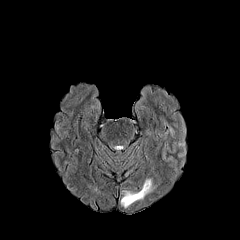
FLAIR MRI.
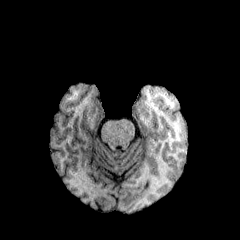
T1-weighted MR.
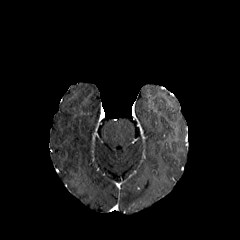
Post-contrast T1-weighted magnetic resonance of the same slice.
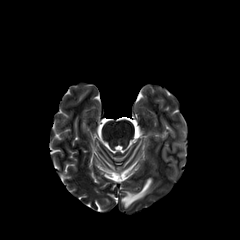
T2-weighted MRI.
peritumoral edema — 120 178 155 208